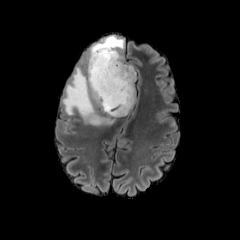
FLAIR MRI.
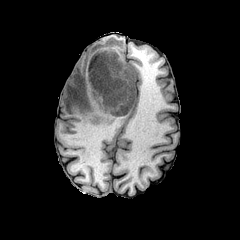
T1-weighted magnetic resonance.
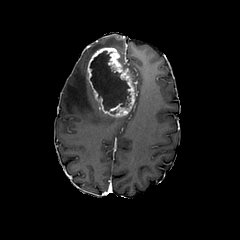
Same slice, post-contrast T1-weighted MR.
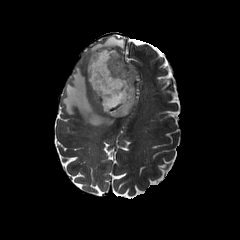
T2-weighted MRI.
Image size 240x240 | Brain
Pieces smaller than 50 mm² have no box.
peritumoral edema: bounding box [62,35,124,125], [119,54,135,81]
necrotic tumor core: bounding box [89,51,131,112]
enhancing tumor: bounding box [87,47,135,117]